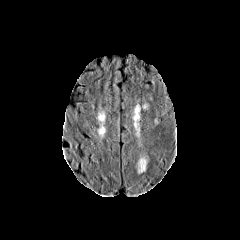
FLAIR MRI.
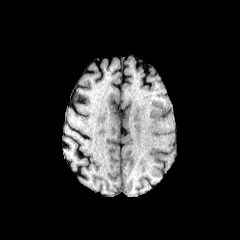
T1-weighted MR.
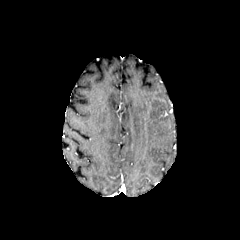
Post-contrast T1-weighted magnetic resonance.
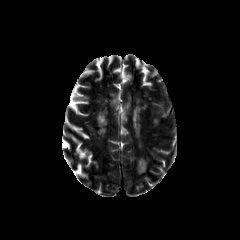
T2-weighted MR image.
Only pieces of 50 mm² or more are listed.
{
  "peritumoral_edema": [
    "l=133, t=105, r=139, b=128",
    "l=137, t=158, r=147, b=173"
  ]
}